Slice 65/155 | Image width 240 mm, 1.00 mm slice spacing | Brain | 240x240 px
FLAIR MRI.
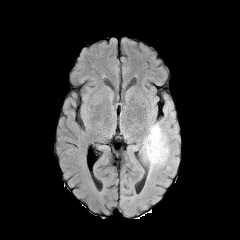
T1-weighted MR image.
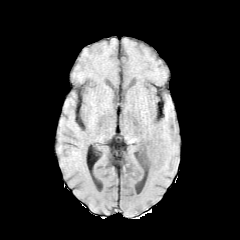
Post-contrast T1-weighted magnetic resonance.
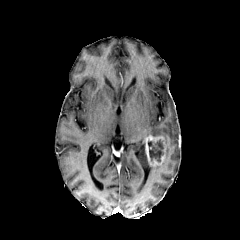
T2-weighted MR image.
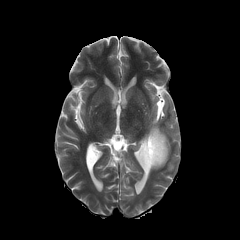
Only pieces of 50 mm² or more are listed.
enhancing tumor: bounding box l=144, t=134, r=167, b=166
necrotic tumor core: bounding box l=148, t=140, r=163, b=161
peritumoral edema: bounding box l=141, t=123, r=169, b=172